Brain | Slice 101 of 155 | Image width 240 mm
FLAIR MR image.
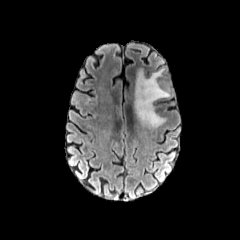
T1-weighted magnetic resonance.
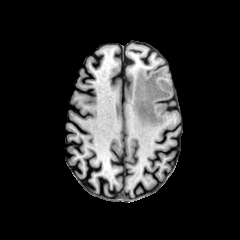
Post-contrast T1-weighted magnetic resonance.
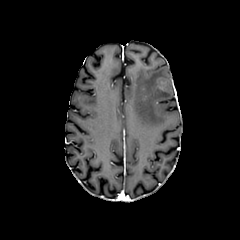
T2-weighted MR.
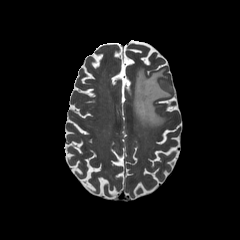
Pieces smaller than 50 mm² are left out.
peritumoral edema: [134,68,170,127]